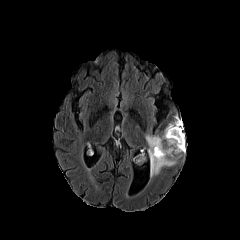
FLAIR magnetic resonance.
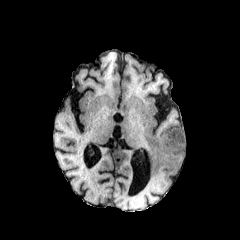
T1-weighted magnetic resonance.
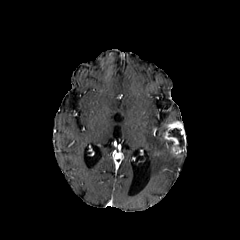
Post-contrast T1-weighted magnetic resonance of the same slice.
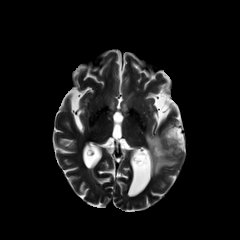
Same slice, T2-weighted magnetic resonance.
Axial slice, Head
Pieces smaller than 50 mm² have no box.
enhancing tumor at (163, 120, 185, 157)
peritumoral edema at (145, 133, 177, 177)
necrotic tumor core at (168, 128, 184, 148)